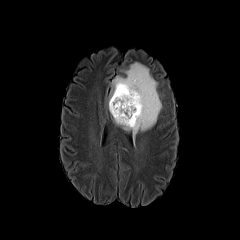
FLAIR MR.
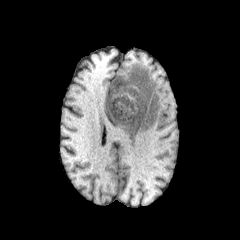
T1-weighted MR.
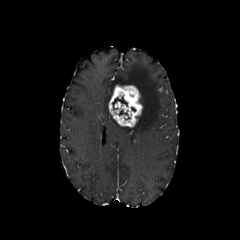
Post-contrast T1-weighted MR.
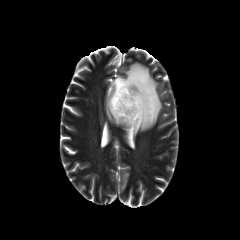
T2-weighted MRI.
Axial plane | Image size 240x240 | Head
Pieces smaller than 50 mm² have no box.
<segmentation>
  <enhancing_tumor>[108,85,142,127]</enhancing_tumor>
  <peritumoral_edema>[111,62,161,138]</peritumoral_edema>
  <necrotic_tumor_core>[118,110,130,119], [112,96,127,109]</necrotic_tumor_core>
</segmentation>